Slice 119/155 | Image width 240 mm, 1.00 mm slice spacing
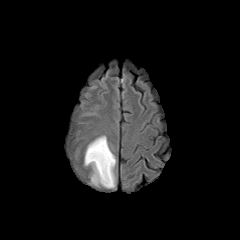
FLAIR magnetic resonance.
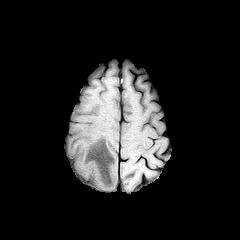
Same slice, T1-weighted magnetic resonance.
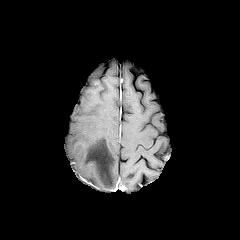
Post-contrast T1-weighted MR of the same slice.
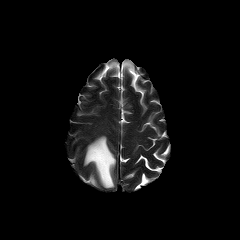
T2-weighted MRI of the same slice.
peritumoral edema: rect(84, 136, 115, 188)